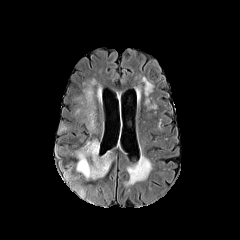
FLAIR magnetic resonance.
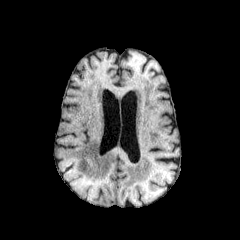
Same slice, T1-weighted magnetic resonance.
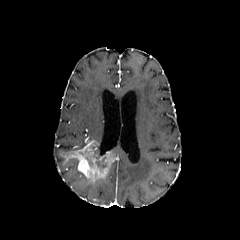
Post-contrast T1-weighted MRI.
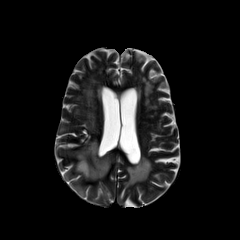
Same slice, T2-weighted MR image.
Head
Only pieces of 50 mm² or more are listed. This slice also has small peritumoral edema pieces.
necrotic tumor core = (96,161,106,167), (94,143,99,159)
enhancing tumor = (58,140,114,184)